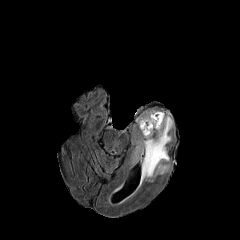
FLAIR MR.
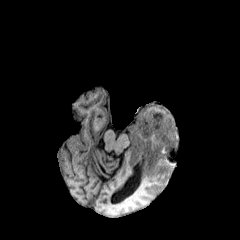
Same slice, T1-weighted MRI.
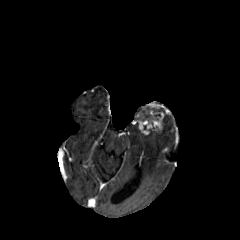
Post-contrast T1-weighted MRI.
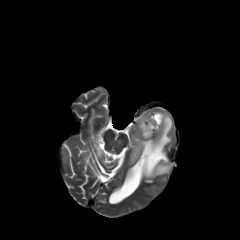
Same slice, T2-weighted MRI.
Brain
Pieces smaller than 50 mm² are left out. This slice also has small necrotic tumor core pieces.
peritumoral edema = bbox=[137, 112, 150, 121]; bbox=[135, 110, 172, 183]
enhancing tumor = bbox=[138, 111, 163, 134]